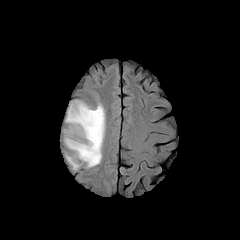
FLAIR magnetic resonance.
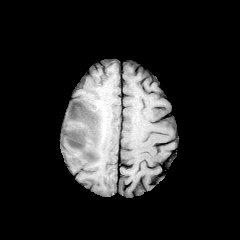
T1-weighted MR of the same slice.
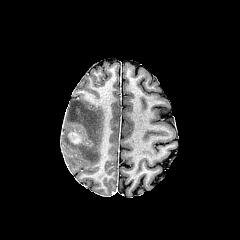
Post-contrast T1-weighted magnetic resonance.
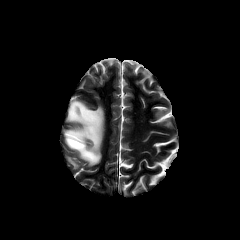
T2-weighted MR.
Head. Axial view.
enhancing tumor: box=[67, 128, 85, 145]
peritumoral edema: box=[67, 156, 79, 169]; box=[64, 100, 104, 167]